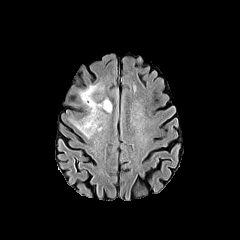
FLAIR MRI.
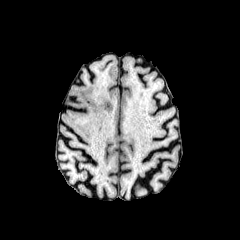
T1-weighted magnetic resonance.
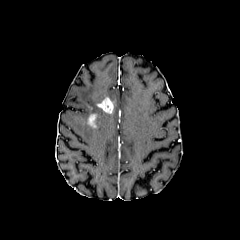
Post-contrast T1-weighted MR.
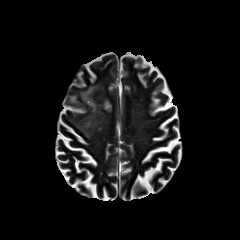
Same slice, T2-weighted MRI.
Axial view; Image size 240x240
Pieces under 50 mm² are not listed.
{
  "peritumoral_edema": [
    "(left=72, top=84, right=104, bottom=138)"
  ],
  "enhancing_tumor": [
    "(left=87, top=114, right=96, bottom=127)",
    "(left=96, top=98, right=113, bottom=113)"
  ]
}